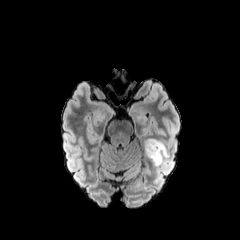
FLAIR MRI.
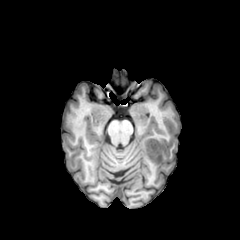
T1-weighted MR image.
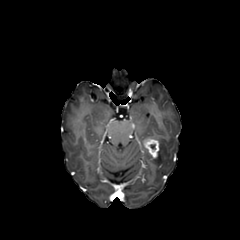
Post-contrast T1-weighted MR of the same slice.
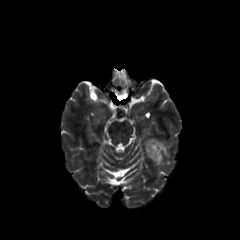
T2-weighted MR.
240x240
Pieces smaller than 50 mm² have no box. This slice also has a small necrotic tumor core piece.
The enhancing tumor is at [144,138,159,158]. The largest peritumoral edema region is at [145,140,169,166].